FLAIR MR image.
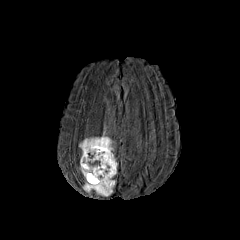
T1-weighted MR image.
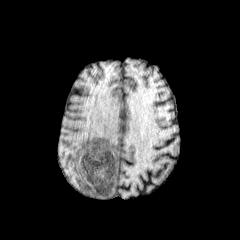
Post-contrast T1-weighted magnetic resonance.
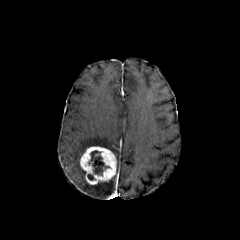
T2-weighted MR image.
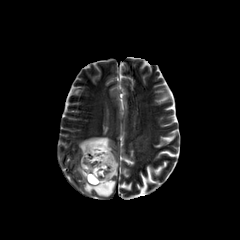
Head; Axial plane; Image size 240x240
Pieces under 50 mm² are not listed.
necrotic tumor core — l=90, t=150, r=109, b=175
enhancing tumor — l=80, t=146, r=116, b=184
peritumoral edema — l=78, t=166, r=115, b=196; l=79, t=132, r=114, b=154